Head
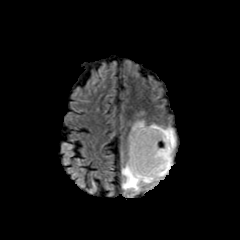
FLAIR MR image.
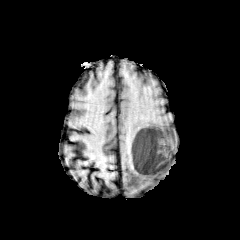
T1-weighted MR.
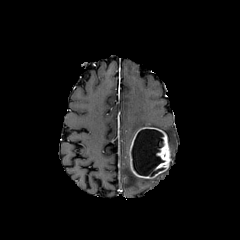
Post-contrast T1-weighted MR.
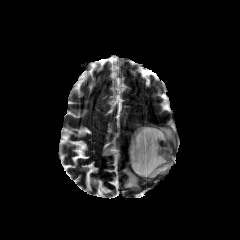
T2-weighted magnetic resonance.
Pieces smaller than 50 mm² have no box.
peritumoral edema: bbox(122, 121, 175, 191)
enhancing tumor: bbox(129, 127, 171, 178)
necrotic tumor core: bbox(131, 129, 164, 176)